FLAIR MR image.
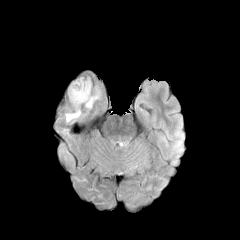
T1-weighted MR.
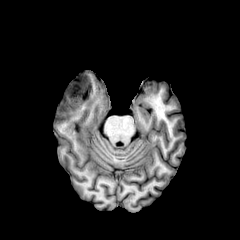
Post-contrast T1-weighted MR image.
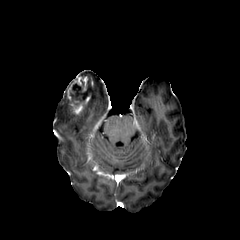
T2-weighted MRI.
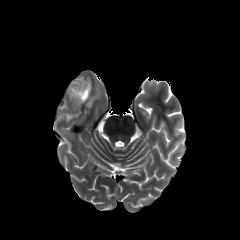
Axial plane
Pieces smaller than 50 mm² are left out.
The largest necrotic tumor core region is at [70, 81, 93, 106]. 2 peritumoral edema regions appear at [65, 112, 80, 122], [87, 95, 97, 107]. 2 enhancing tumor regions are located at [73, 77, 93, 91], [67, 86, 90, 114].